Slice index 101 | Axial plane | Head
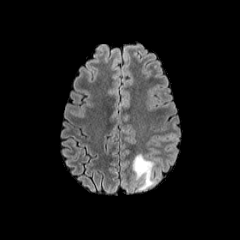
FLAIR magnetic resonance.
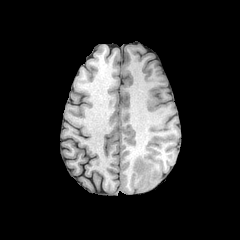
T1-weighted magnetic resonance of the same slice.
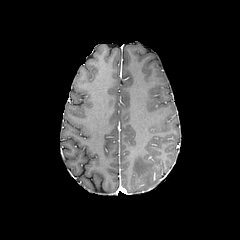
Same slice, post-contrast T1-weighted magnetic resonance.
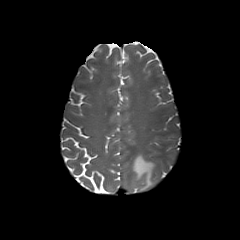
T2-weighted MRI.
{
  "peritumoral_edema": [
    "[132, 154, 156, 190]"
  ]
}